240x240 px | Image covers 240 mm x 240 mm | Head
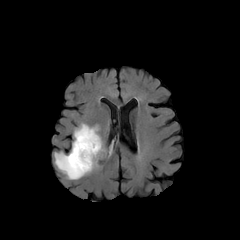
FLAIR MRI.
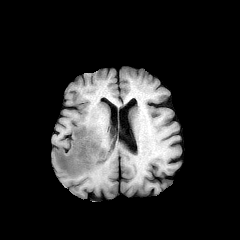
Same slice, T1-weighted MRI.
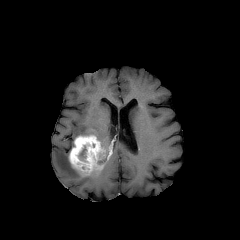
Post-contrast T1-weighted MR image of the same slice.
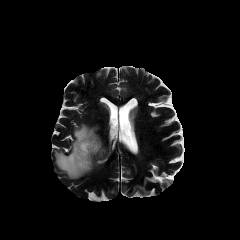
T2-weighted MR of the same slice.
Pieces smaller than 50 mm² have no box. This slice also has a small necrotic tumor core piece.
{"peritumoral_edema": ["[54,151,83,179]", "[73,123,104,147]"], "enhancing_tumor": ["[68,134,105,175]"]}